FLAIR MRI.
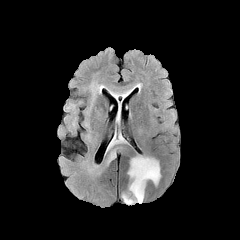
T1-weighted MRI.
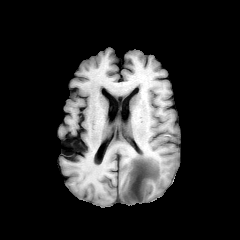
Post-contrast T1-weighted MRI.
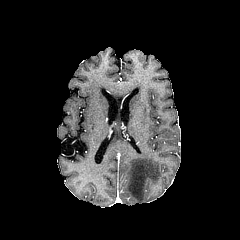
T2-weighted MR.
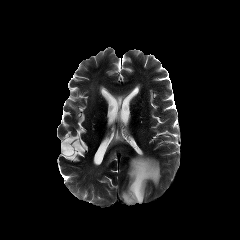
Brain, 240x240 px
<segmentation>
  <peritumoral_edema>[x1=107, y1=134, x2=126, y2=150], [x1=107, y1=150, x2=116, y2=164], [x1=122, y1=156, x2=160, y2=204]</peritumoral_edema>
</segmentation>